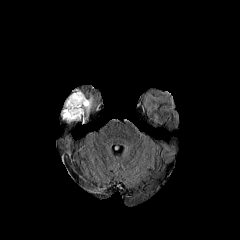
FLAIR magnetic resonance.
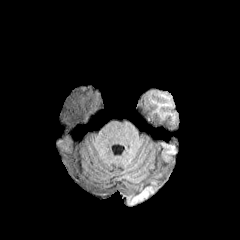
Same slice, T1-weighted magnetic resonance.
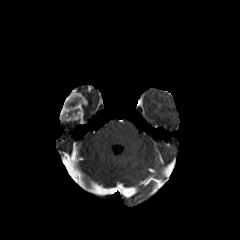
Post-contrast T1-weighted MRI of the same slice.
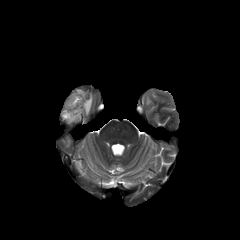
T2-weighted magnetic resonance.
240x240
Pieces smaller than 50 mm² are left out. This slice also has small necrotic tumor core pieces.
The enhancing tumor is at (60,90,87,122). The peritumoral edema is bounded by (85,96,92,115).